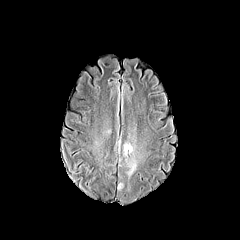
FLAIR MR.
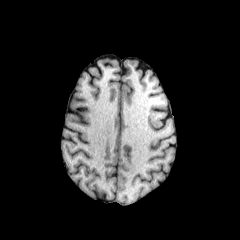
T1-weighted MR image of the same slice.
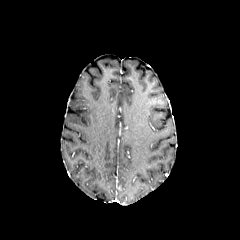
Same slice, post-contrast T1-weighted MR image.
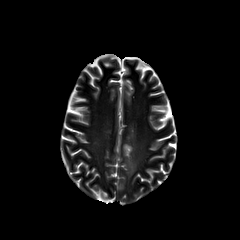
T2-weighted MR.
Axial plane.
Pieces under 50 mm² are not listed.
peritumoral edema = <box>123,135,137,176</box>